Slice 115 of 155, Head, Axial view
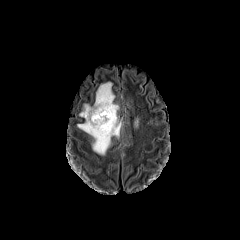
FLAIR magnetic resonance.
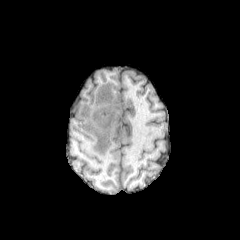
Same slice, T1-weighted MR image.
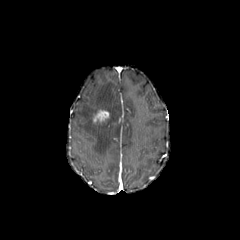
Same slice, post-contrast T1-weighted magnetic resonance.
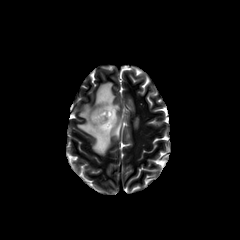
T2-weighted magnetic resonance.
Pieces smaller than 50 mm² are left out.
peritumoral edema: bounding box l=77, t=82, r=121, b=155
enhancing tumor: bounding box l=93, t=109, r=109, b=123